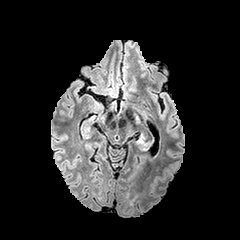
FLAIR MRI.
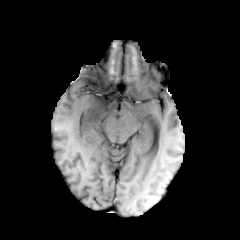
T1-weighted MRI.
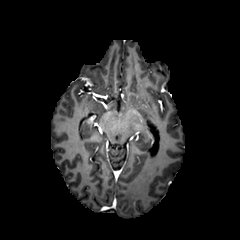
Post-contrast T1-weighted MR image.
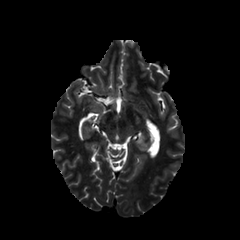
T2-weighted MR.
peritumoral edema — x1=135 y1=136 x2=146 y2=144, x1=125 y1=126 x2=134 y2=136